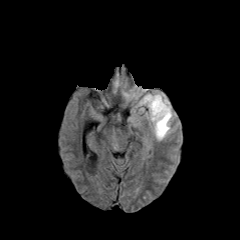
FLAIR MR.
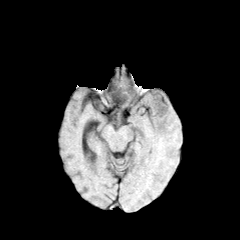
T1-weighted MRI of the same slice.
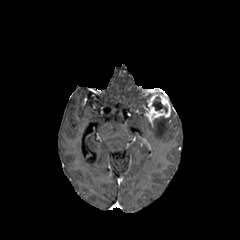
Post-contrast T1-weighted magnetic resonance.
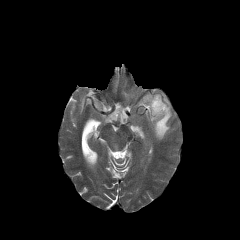
T2-weighted magnetic resonance.
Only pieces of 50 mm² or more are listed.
necrotic tumor core = 152, 100, 167, 112
enhancing tumor = 145, 89, 170, 122
peritumoral edema = 152, 107, 172, 139